Brain, Slice 107/155, Axial plane
FLAIR MRI.
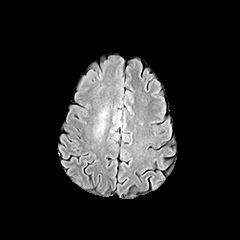
T1-weighted MR.
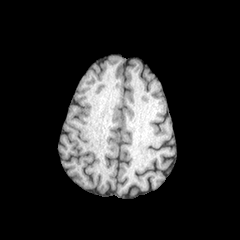
Post-contrast T1-weighted MR.
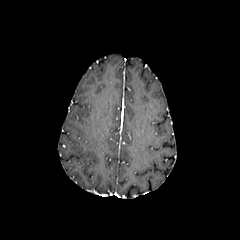
T2-weighted MR image.
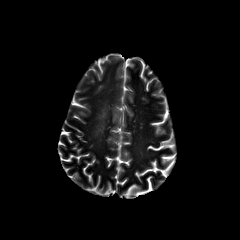
The peritumoral edema lies within (left=96, top=112, right=106, bottom=134).